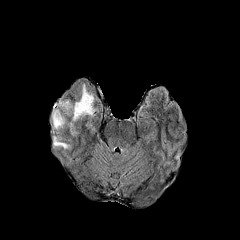
FLAIR MR.
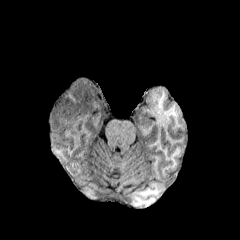
T1-weighted magnetic resonance.
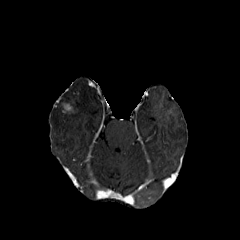
Post-contrast T1-weighted MR image of the same slice.
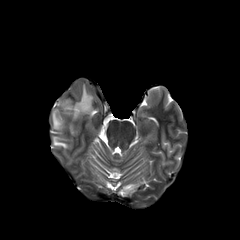
T2-weighted MR image of the same slice.
Brain
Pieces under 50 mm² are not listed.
<segmentation>
  <enhancing_tumor>(61,102,74,114)</enhancing_tumor>
  <peritumoral_edema>(52,107,65,129), (55,84,95,121), (53,136,68,148), (70,123,76,135)</peritumoral_edema>
</segmentation>